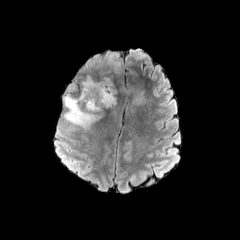
FLAIR MR.
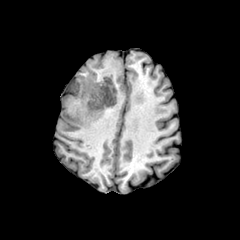
T1-weighted MR.
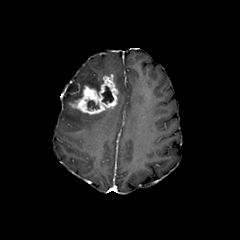
Same slice, post-contrast T1-weighted magnetic resonance.
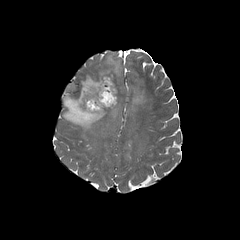
T2-weighted MR of the same slice.
Axial slice. Image size 240x240.
2 necrotic tumor core regions appear at 102 86 113 103, 87 100 99 110. The enhancing tumor appears at 68 74 118 115. 3 peritumoral edema regions are bounded by 63 70 110 130, 133 91 145 103, 106 53 120 73.